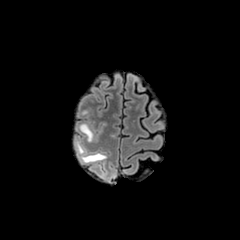
FLAIR MRI.
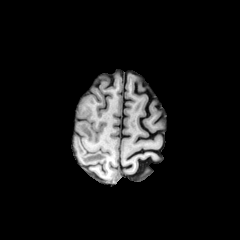
T1-weighted MR of the same slice.
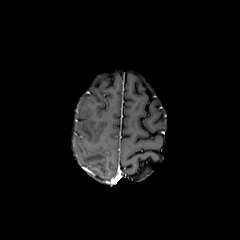
Post-contrast T1-weighted MR image.
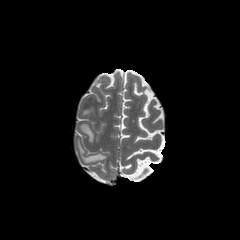
Same slice, T2-weighted MRI.
240x240 px
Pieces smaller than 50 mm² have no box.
peritumoral edema: region(77, 140, 106, 162); region(79, 124, 93, 141)